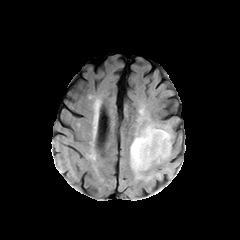
FLAIR MR image.
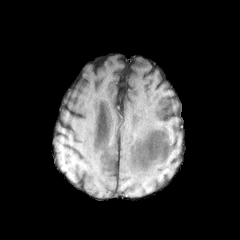
T1-weighted MR.
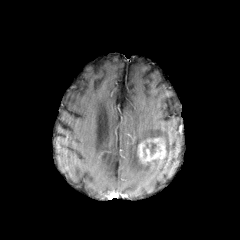
Post-contrast T1-weighted MR of the same slice.
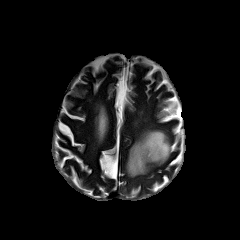
T2-weighted magnetic resonance.
Head, 240x240
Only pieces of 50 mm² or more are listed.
The largest necrotic tumor core region is located at [x1=150, y1=143, x2=156, y2=153]. The enhancing tumor is at [x1=137, y1=137, x2=166, y2=164]. The peritumoral edema appears at [x1=129, y1=125, x2=171, y2=178].